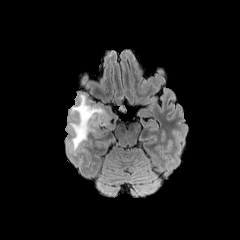
FLAIR magnetic resonance.
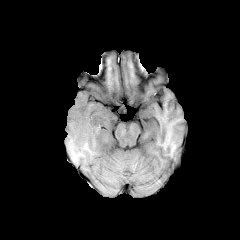
Same slice, T1-weighted MR.
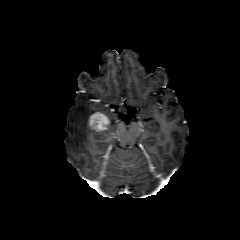
Post-contrast T1-weighted magnetic resonance.
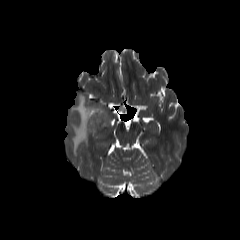
T2-weighted MRI.
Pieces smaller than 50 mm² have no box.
The enhancing tumor appears at x1=89 y1=112 x2=109 y2=132. The largest peritumoral edema region is located at x1=70 y1=94 x2=108 y2=154.